Image width 240 mm, 1.00 mm slice spacing, Brain
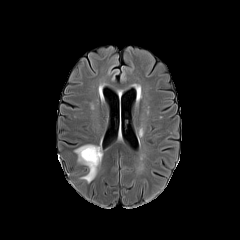
FLAIR magnetic resonance.
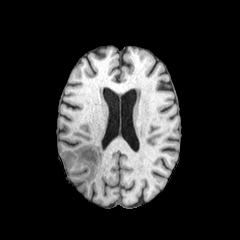
Same slice, T1-weighted magnetic resonance.
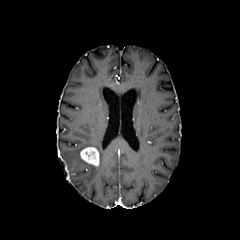
Post-contrast T1-weighted magnetic resonance.
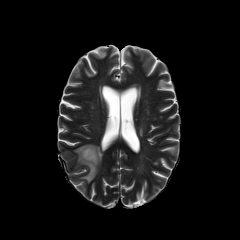
T2-weighted MR image.
The enhancing tumor is bounded by <box>80,147,99,166</box>. The peritumoral edema appears at <box>74,144,102,183</box>.